FLAIR MR image.
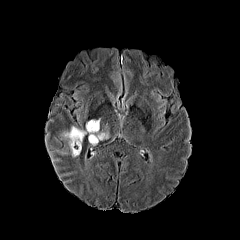
T1-weighted magnetic resonance.
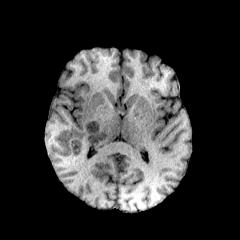
Post-contrast T1-weighted MR image.
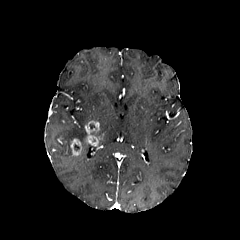
T2-weighted magnetic resonance.
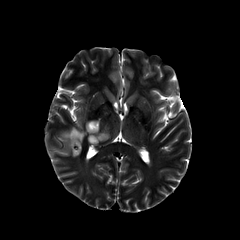
Image size 240x240. Brain.
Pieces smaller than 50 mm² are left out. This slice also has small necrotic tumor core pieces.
peritumoral edema: 63, 126, 86, 144; 99, 131, 109, 140 | enhancing tumor: 85, 121, 103, 145; 70, 139, 81, 155